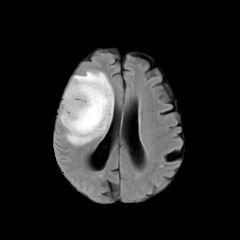
FLAIR MRI.
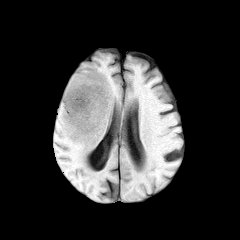
T1-weighted MRI.
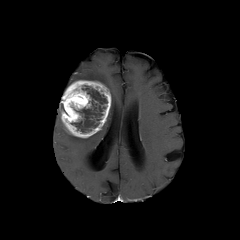
Same slice, post-contrast T1-weighted MR.
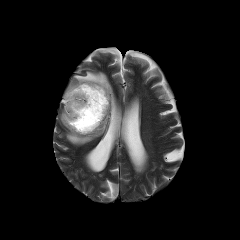
T2-weighted MR image.
Axial view, Image size 240x240, Head
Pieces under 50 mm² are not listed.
The largest enhancing tumor region is located at (61, 80, 111, 138). The largest peritumoral edema region lies within (59, 70, 114, 145). The necrotic tumor core is bounded by (71, 86, 107, 132).